Head, Axial view, Slice index 80
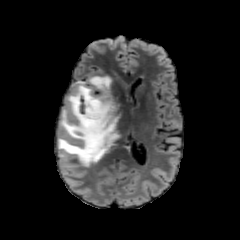
FLAIR MR image.
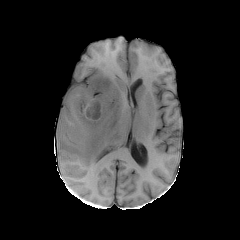
T1-weighted MR of the same slice.
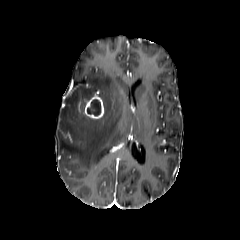
Post-contrast T1-weighted MRI of the same slice.
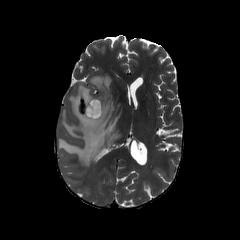
T2-weighted magnetic resonance of the same slice.
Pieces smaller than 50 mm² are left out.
enhancing tumor = {"x1": 77, "y1": 95, "x2": 104, "y2": 119}
peritumoral edema = {"x1": 58, "y1": 76, "x2": 121, "y2": 166}
necrotic tumor core = {"x1": 87, "y1": 99, "x2": 100, "y2": 115}